FLAIR MR.
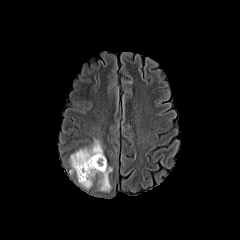
T1-weighted MR.
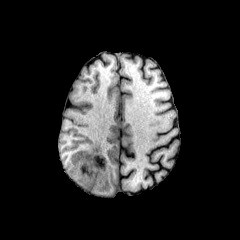
Post-contrast T1-weighted MR image.
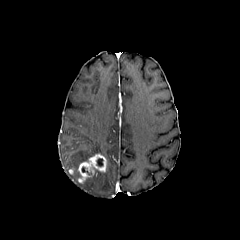
T2-weighted MR.
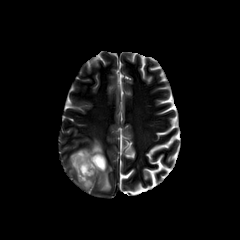
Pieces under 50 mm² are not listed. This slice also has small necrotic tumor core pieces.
<segmentation>
  <peritumoral_edema>69 139 103 178, 96 162 112 191, 79 174 95 188</peritumoral_edema>
  <enhancing_tumor>77 153 106 183</enhancing_tumor>
</segmentation>